Axial slice, Slice 75/155, Brain
FLAIR magnetic resonance.
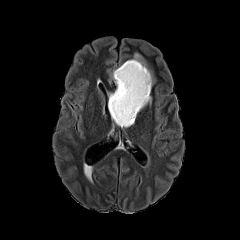
T1-weighted magnetic resonance.
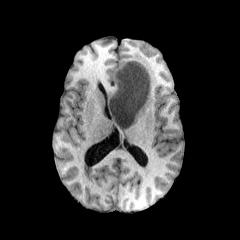
Post-contrast T1-weighted MRI.
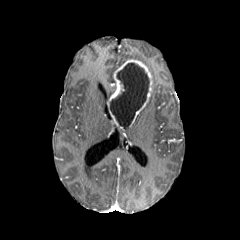
T2-weighted MR.
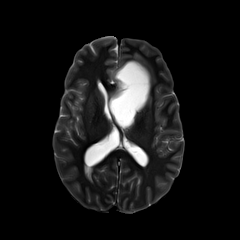
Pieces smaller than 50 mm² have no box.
{"peritumoral_edema": ["left=131, top=53, right=146, bottom=65"], "enhancing_tumor": ["left=108, top=59, right=152, bottom=126"], "necrotic_tumor_core": ["left=109, top=63, right=149, bottom=127"]}